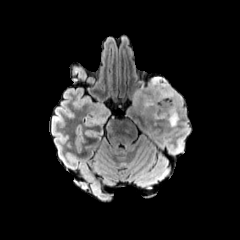
FLAIR MR.
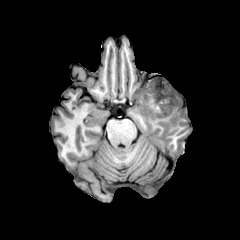
T1-weighted MRI.
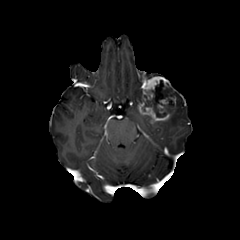
Post-contrast T1-weighted MRI of the same slice.
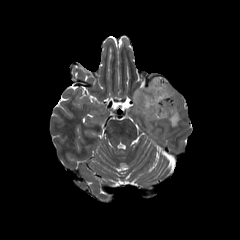
Same slice, T2-weighted MR image.
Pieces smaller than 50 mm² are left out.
necrotic tumor core: bounding box <box>142,80,173,117</box>
peritumoral edema: bounding box <box>166,89,182,127</box>, <box>133,86,141,105</box>
enhancing tumor: bounding box <box>137,76,176,121</box>